Head
FLAIR MR image.
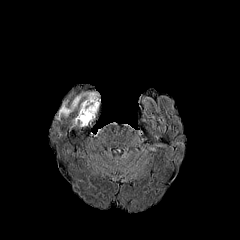
T1-weighted MR.
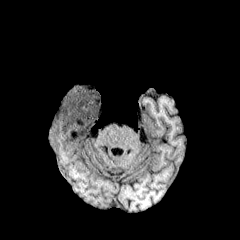
Post-contrast T1-weighted MR image.
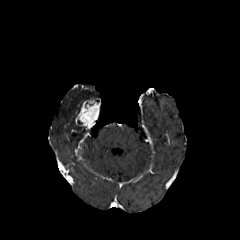
T2-weighted MR.
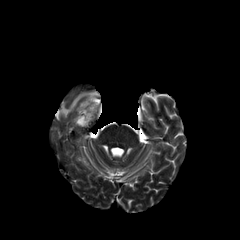
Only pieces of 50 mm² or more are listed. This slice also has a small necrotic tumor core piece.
enhancing tumor at x1=75, y1=98, x2=100, y2=127
peritumoral edema at x1=57, y1=92, x2=98, y2=119